Image width 240 mm; Brain; Slice 37 of 155
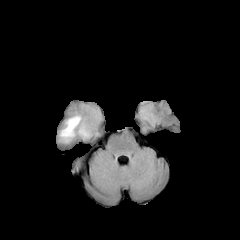
FLAIR MR image.
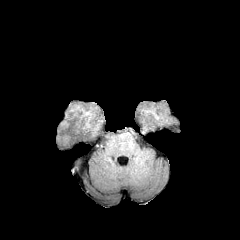
Same slice, T1-weighted MRI.
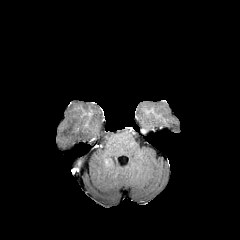
Post-contrast T1-weighted MR of the same slice.
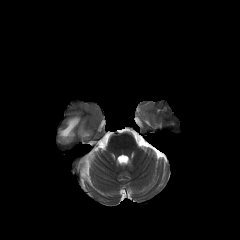
T2-weighted magnetic resonance.
Annotated regions:
- peritumoral edema: box=[78, 125, 91, 138]; box=[59, 115, 80, 142]